Slice 44 of 155 | Head
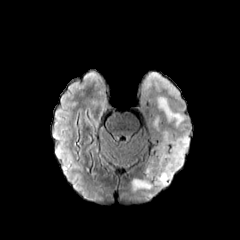
FLAIR magnetic resonance.
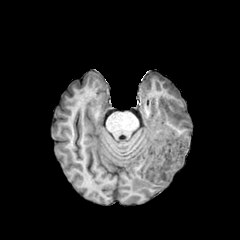
Same slice, T1-weighted MRI.
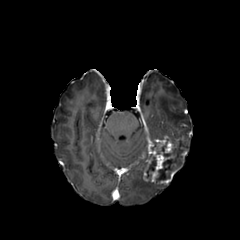
Post-contrast T1-weighted magnetic resonance.
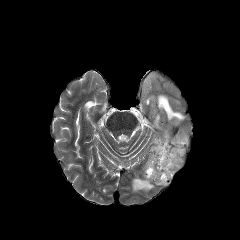
T2-weighted MRI.
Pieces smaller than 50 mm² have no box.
The largest enhancing tumor region is bounded by rect(143, 135, 187, 184). The 2 largest necrotic tumor core regions appear at rect(156, 139, 184, 181); rect(146, 156, 156, 178). The 4 largest peritumoral edema regions are bounded by rect(154, 118, 159, 129); rect(158, 130, 189, 150); rect(158, 96, 185, 127); rect(131, 178, 167, 192).